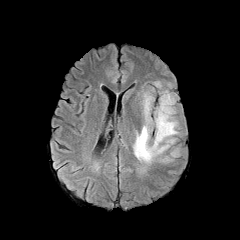
FLAIR MRI.
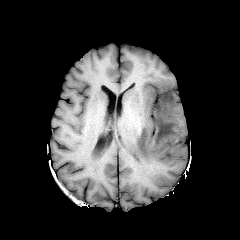
T1-weighted magnetic resonance.
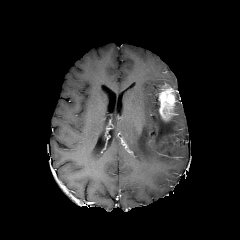
Post-contrast T1-weighted MR image.
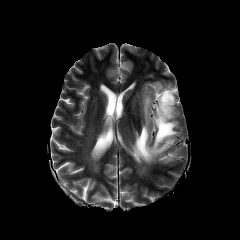
T2-weighted MRI.
Axial view | 240x240 px | Brain
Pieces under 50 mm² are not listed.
peritumoral edema: {"x1": 170, "y1": 149, "x2": 178, "y2": 156}, {"x1": 133, "y1": 93, "x2": 178, "y2": 163} | enhancing tumor: {"x1": 157, "y1": 84, "x2": 176, "y2": 121}